Image size 240x240; Slice index 105
FLAIR MR.
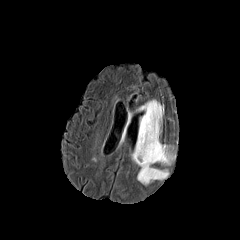
T1-weighted MRI.
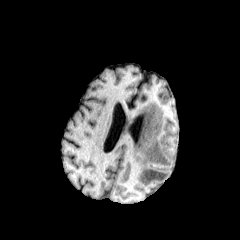
Post-contrast T1-weighted MRI.
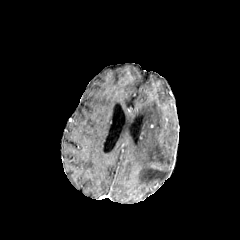
T2-weighted magnetic resonance.
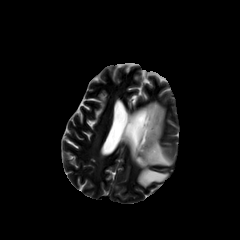
peritumoral edema — x1=132 y1=100 x2=172 y2=185